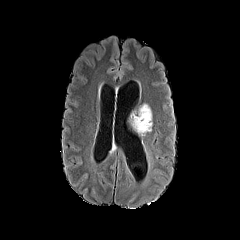
FLAIR MR.
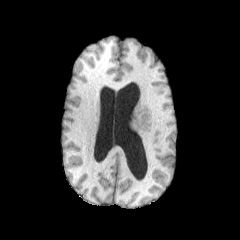
Same slice, T1-weighted MR image.
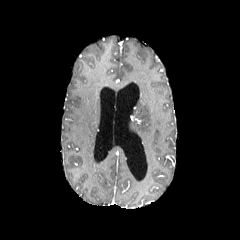
Post-contrast T1-weighted MR image.
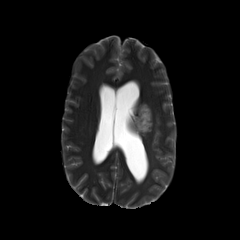
T2-weighted magnetic resonance.
Axial view; Head
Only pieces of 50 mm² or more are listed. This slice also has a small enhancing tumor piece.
The peritumoral edema is bounded by (left=133, top=104, right=152, bottom=135).